240x240 px; Image covers 240 mm x 240 mm; Axial view
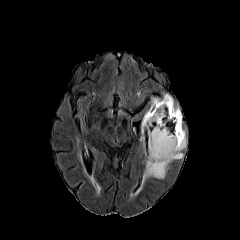
FLAIR MR.
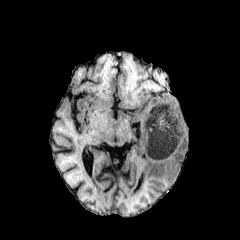
Same slice, T1-weighted MR image.
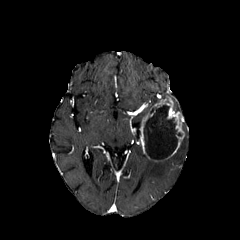
Post-contrast T1-weighted MR image of the same slice.
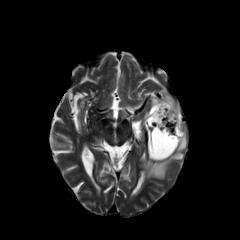
T2-weighted MR.
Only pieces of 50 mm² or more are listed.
enhancing_tumor:
  - region(140, 96, 184, 161)
necrotic_tumor_core:
  - region(144, 105, 177, 159)
peritumoral_edema:
  - region(150, 97, 161, 108)
  - region(141, 129, 187, 186)